FLAIR magnetic resonance.
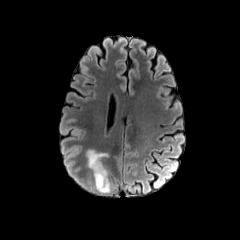
T1-weighted magnetic resonance.
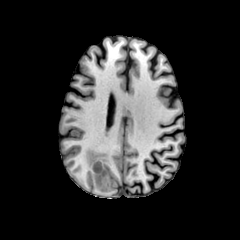
Post-contrast T1-weighted magnetic resonance.
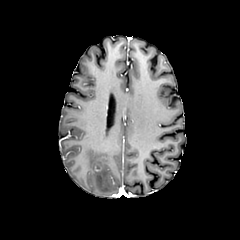
T2-weighted MR image.
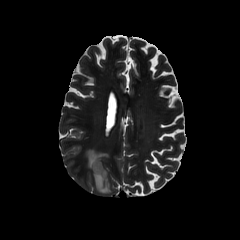
peritumoral edema at x1=87, y1=149, x2=110, y2=193